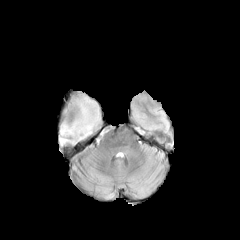
FLAIR MRI.
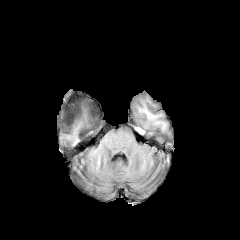
T1-weighted MRI of the same slice.
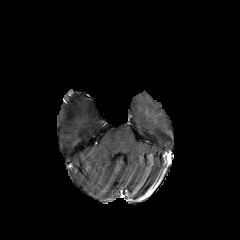
Post-contrast T1-weighted MRI of the same slice.
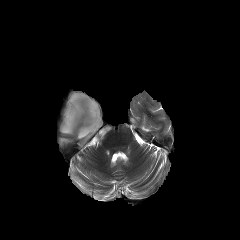
T2-weighted magnetic resonance.
Head.
peritumoral edema at bbox=[59, 94, 101, 145]